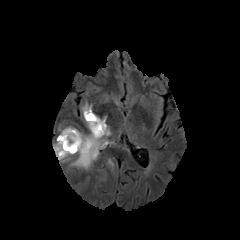
FLAIR MRI.
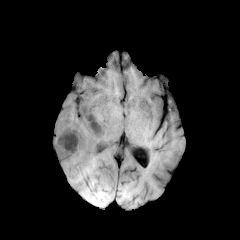
T1-weighted MR of the same slice.
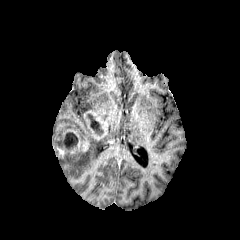
Post-contrast T1-weighted magnetic resonance of the same slice.
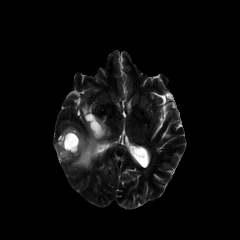
T2-weighted magnetic resonance.
240x240 px. Axial plane.
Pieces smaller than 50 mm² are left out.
The 2 largest peritumoral edema regions are bounded by x1=58 y1=125 x2=114 y2=169, x1=81 y1=103 x2=92 y2=116. The 2 largest enhancing tumor regions appear at x1=56 y1=129 x2=89 y2=157, x1=84 y1=110 x2=107 y2=139. 2 necrotic tumor core regions are bounded by x1=89 y1=115 x2=101 y2=133, x1=64 y1=132 x2=78 y2=148.